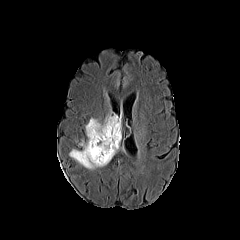
FLAIR MRI.
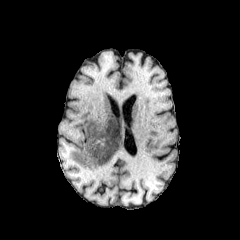
T1-weighted magnetic resonance of the same slice.
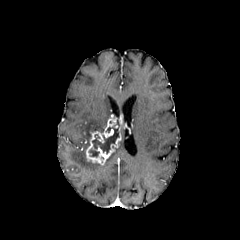
Post-contrast T1-weighted MR image of the same slice.
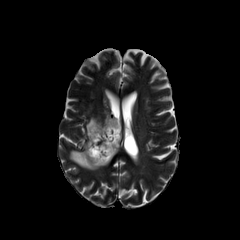
T2-weighted MR image of the same slice.
240x240
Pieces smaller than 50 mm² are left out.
enhancing tumor: 85,116,122,164 | necrotic tumor core: 89,125,118,157 | peritumoral edema: 70,115,119,170